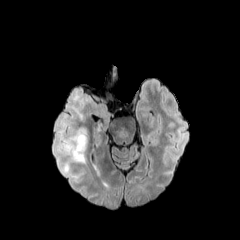
FLAIR MRI.
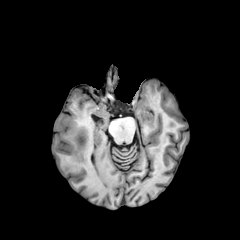
T1-weighted MR.
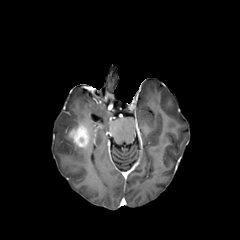
Post-contrast T1-weighted MRI of the same slice.
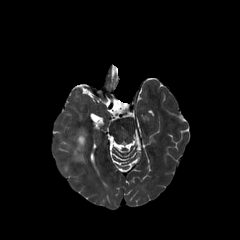
T2-weighted magnetic resonance.
Head
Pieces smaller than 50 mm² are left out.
Annotated regions:
* enhancing tumor: box=[68, 124, 89, 148]
* peritumoral edema: box=[63, 125, 86, 172]; box=[72, 105, 82, 119]